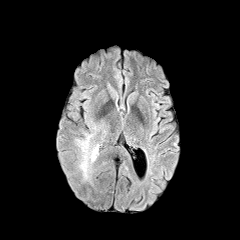
FLAIR MRI.
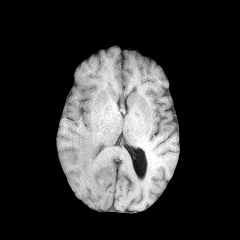
T1-weighted MR image.
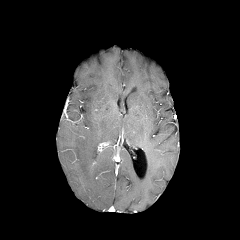
Post-contrast T1-weighted magnetic resonance.
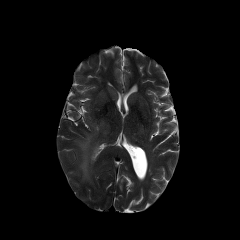
T2-weighted MR image.
Image size 240x240, Axial plane, Head
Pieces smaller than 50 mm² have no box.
peritumoral edema: 76,123,101,180